Brain
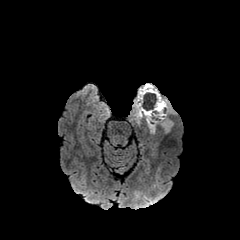
FLAIR MR.
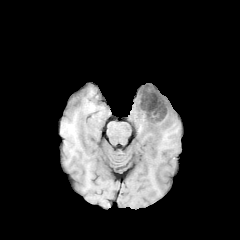
Same slice, T1-weighted MR.
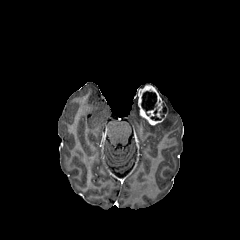
Post-contrast T1-weighted MR of the same slice.
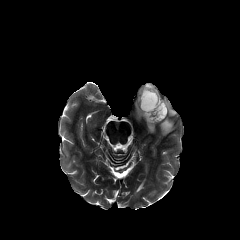
Same slice, T2-weighted MR image.
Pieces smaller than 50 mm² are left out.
2 necrotic tumor core regions appear at box(151, 103, 167, 120); box(141, 91, 156, 111). The 3 largest peritumoral edema regions are bounded by box(158, 96, 176, 133); box(146, 120, 155, 133); box(130, 94, 143, 123). The enhancing tumor is located at box(138, 84, 167, 125).